FLAIR MR image.
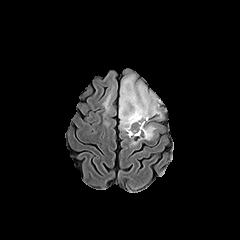
T1-weighted MRI.
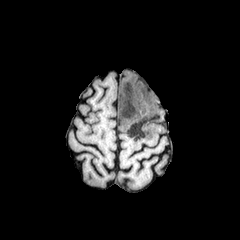
Post-contrast T1-weighted MR.
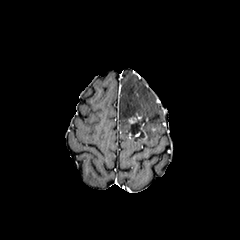
T2-weighted MRI.
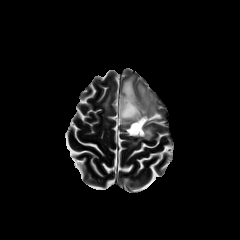
Axial view | Head
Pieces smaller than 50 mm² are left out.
enhancing tumor: [128,114,141,123] | peritumoral edema: [103,93,111,111], [132,125,155,144], [119,75,162,131] | necrotic tumor core: [128,117,147,137], [121,87,142,118]